Slice 87/155, Image width 240 mm, 1.00 mm slice spacing
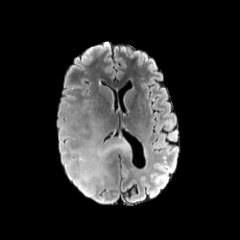
FLAIR MR image.
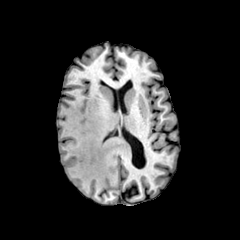
T1-weighted MR of the same slice.
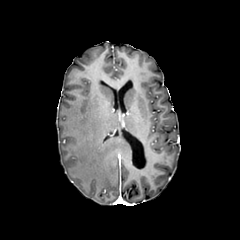
Same slice, post-contrast T1-weighted MR image.
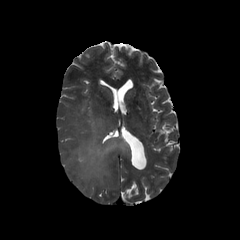
T2-weighted MRI of the same slice.
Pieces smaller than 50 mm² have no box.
peritumoral_edema:
  - [x1=72, y1=130, x2=129, y2=184]